240x240
FLAIR MRI.
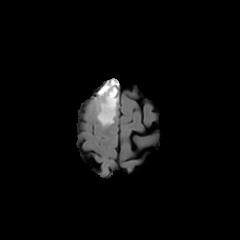
T1-weighted MR.
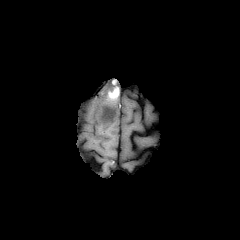
Post-contrast T1-weighted magnetic resonance.
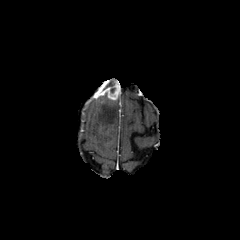
T2-weighted MR image.
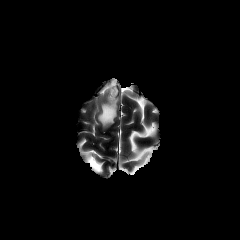
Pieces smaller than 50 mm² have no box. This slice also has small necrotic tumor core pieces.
{
  "peritumoral_edema": [
    "(95,98,118,126)"
  ],
  "enhancing_tumor": [
    "(96,79,118,103)"
  ]
}